240x240 px, Brain, Axial view, Image covers 240 mm x 240 mm
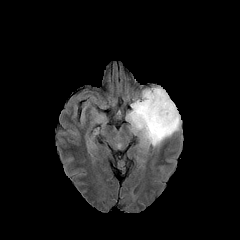
FLAIR magnetic resonance.
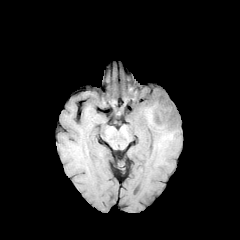
Same slice, T1-weighted MRI.
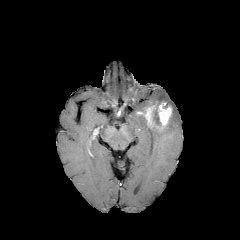
Post-contrast T1-weighted MR.
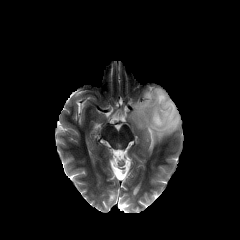
T2-weighted magnetic resonance.
2 peritumoral edema regions are bounded by 153, 108, 160, 124; 126, 87, 181, 146. The enhancing tumor lies within 136, 100, 172, 130.